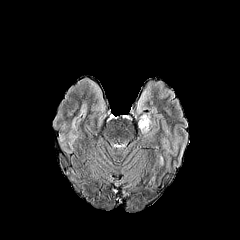
FLAIR MRI.
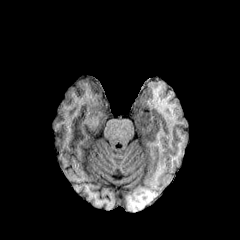
T1-weighted MRI of the same slice.
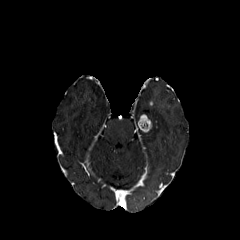
Same slice, post-contrast T1-weighted MR image.
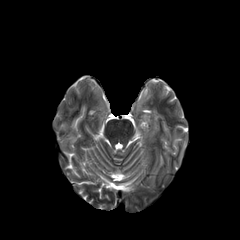
Same slice, T2-weighted magnetic resonance.
Axial view; Brain
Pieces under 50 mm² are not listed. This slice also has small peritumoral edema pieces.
Segmented structures:
• enhancing tumor: [138,114,151,132]